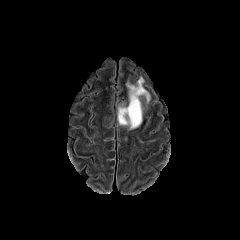
FLAIR MR.
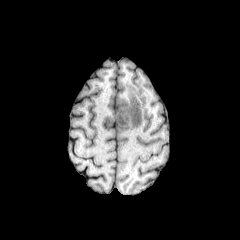
T1-weighted MR image.
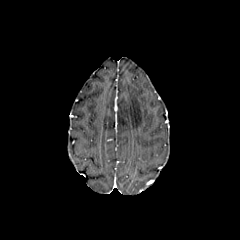
Post-contrast T1-weighted MR.
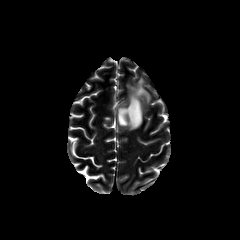
T2-weighted magnetic resonance.
Axial plane | 240x240 px
{
  "peritumoral_edema": [
    "118:77:150:129"
  ]
}